Slice 98/155 | Axial slice
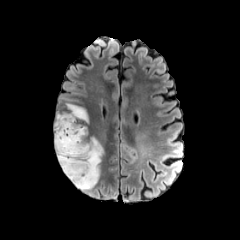
FLAIR MRI.
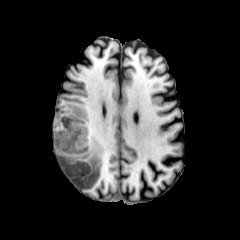
T1-weighted magnetic resonance.
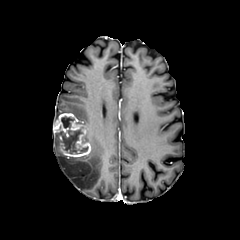
Post-contrast T1-weighted MR image.
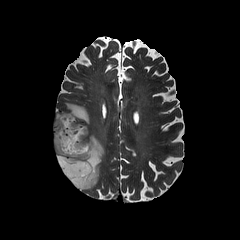
T2-weighted MRI.
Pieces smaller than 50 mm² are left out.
enhancing tumor: bounding box rect(53, 113, 91, 157)
necrotic tumor core: bounding box rect(56, 115, 88, 153)
peritumoral edema: bounding box rect(54, 134, 104, 190); rect(53, 102, 90, 125)